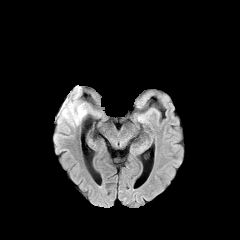
FLAIR magnetic resonance.
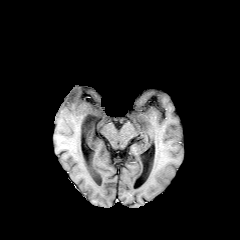
T1-weighted MRI.
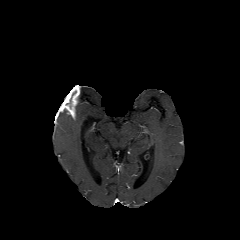
Post-contrast T1-weighted magnetic resonance of the same slice.
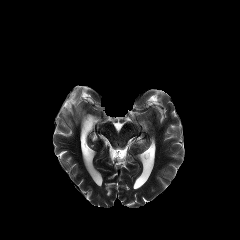
Same slice, T2-weighted MR.
Head
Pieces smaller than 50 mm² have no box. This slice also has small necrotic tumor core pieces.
The largest peritumoral edema region is located at x1=57 y1=99 x2=89 y2=127. The enhancing tumor lies within x1=55 y1=85 x2=80 y2=119.